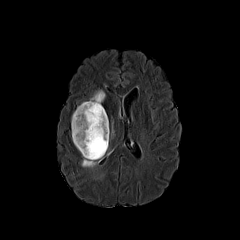
FLAIR MR image.
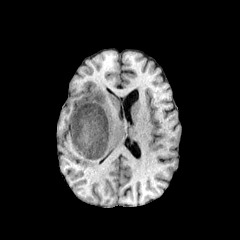
T1-weighted MR image.
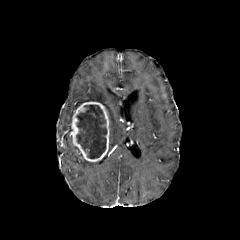
Post-contrast T1-weighted MR image.
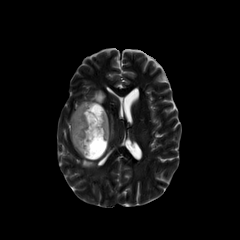
Same slice, T2-weighted MR.
Head
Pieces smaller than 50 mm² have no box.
peritumoral edema: [89,90,105,103], [81,158,99,167] | enhancing tumor: [70,101,109,161] | necrotic tumor core: [76,105,106,158]